Axial slice; Brain; 240x240 px
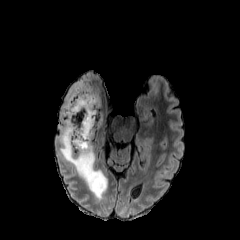
FLAIR MRI.
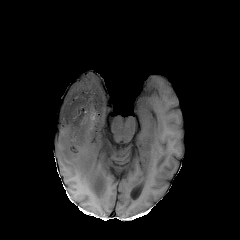
T1-weighted MRI of the same slice.
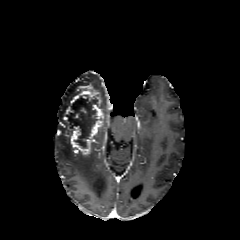
Same slice, post-contrast T1-weighted magnetic resonance.
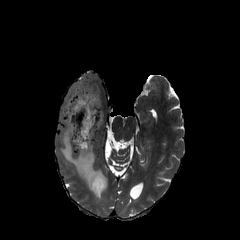
T2-weighted MRI.
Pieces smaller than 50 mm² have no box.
necrotic_tumor_core:
  - <box>68,95,97,147</box>
peritumoral_edema:
  - <box>59,74,107,198</box>
enhancing_tumor:
  - <box>66,85,105,155</box>